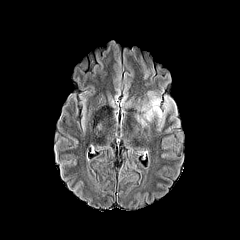
FLAIR magnetic resonance.
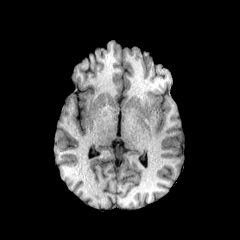
T1-weighted MR image of the same slice.
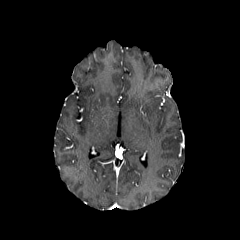
Post-contrast T1-weighted magnetic resonance.
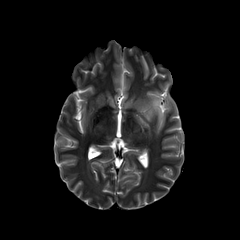
T2-weighted magnetic resonance.
Brain. Axial slice.
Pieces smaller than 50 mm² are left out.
The largest peritumoral edema region lies within (137,95,165,126).